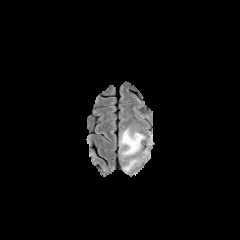
FLAIR magnetic resonance.
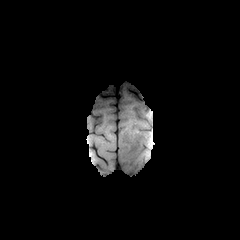
T1-weighted MR of the same slice.
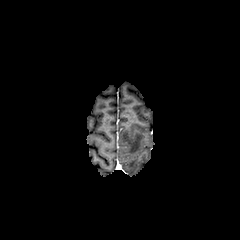
Post-contrast T1-weighted magnetic resonance.
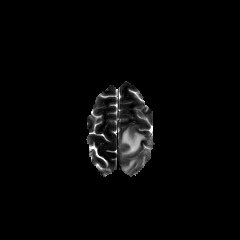
Same slice, T2-weighted MR.
Brain
peritumoral_edema:
  - x1=123, y1=159, x2=137, y2=171
  - x1=120, y1=128, x2=145, y2=156